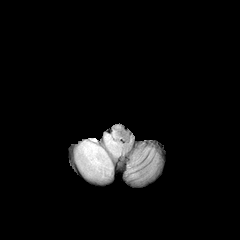
FLAIR magnetic resonance.
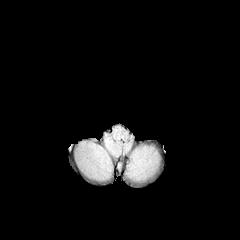
T1-weighted MRI of the same slice.
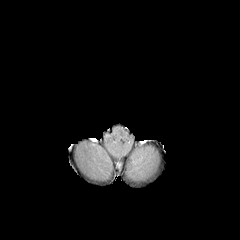
Post-contrast T1-weighted MR.
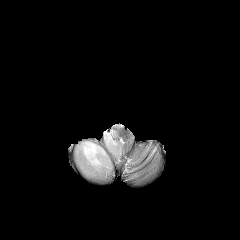
Same slice, T2-weighted MR image.
peritumoral edema: bounding box 75 125 124 179